Brain; Image width 240 mm, 1.00 mm slice spacing; Slice 122/155
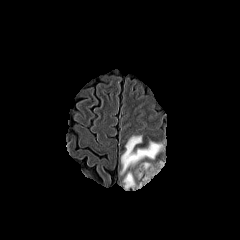
FLAIR magnetic resonance.
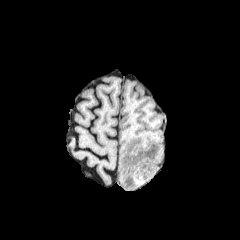
T1-weighted magnetic resonance of the same slice.
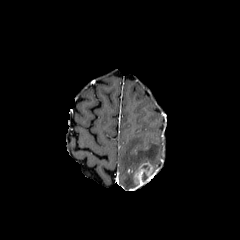
Post-contrast T1-weighted MR image.
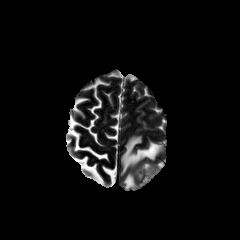
T2-weighted magnetic resonance.
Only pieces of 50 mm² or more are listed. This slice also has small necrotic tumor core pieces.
Segmented structures:
• peritumoral edema: box=[123, 173, 136, 189]; box=[120, 135, 162, 174]
• enhancing tumor: box=[133, 162, 157, 186]